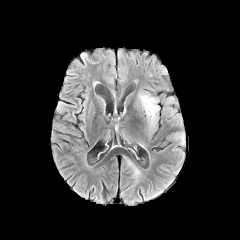
FLAIR MR image.
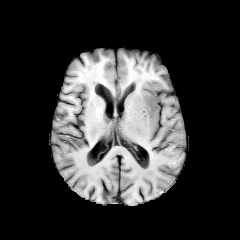
T1-weighted MR.
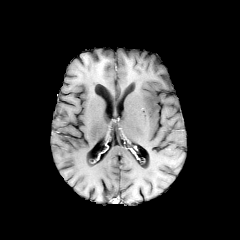
Post-contrast T1-weighted MRI of the same slice.
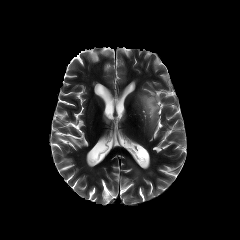
T2-weighted MR.
Image size 240x240. Axial plane.
Findings:
- peritumoral edema: 136:93:158:135